Image size 240x240.
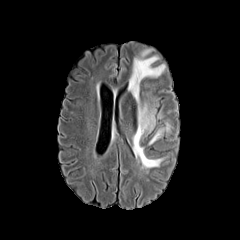
FLAIR MR.
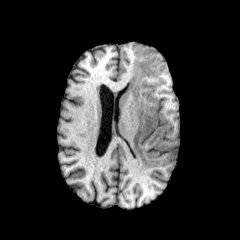
T1-weighted magnetic resonance of the same slice.
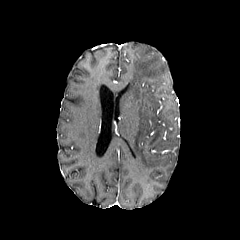
Post-contrast T1-weighted magnetic resonance of the same slice.
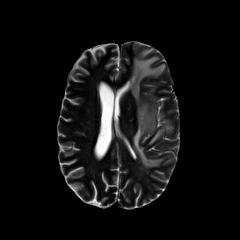
T2-weighted MRI.
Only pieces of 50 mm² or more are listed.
peritumoral edema — left=128, top=49, right=165, bottom=168; left=149, top=128, right=164, bottom=144